Image width 240 mm, 1.00 mm slice spacing. Brain. Slice 136/155.
FLAIR magnetic resonance.
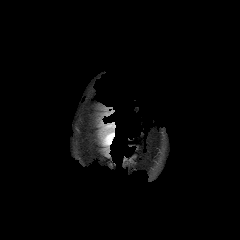
T1-weighted MRI.
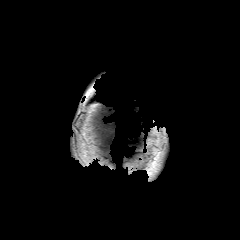
Post-contrast T1-weighted MRI.
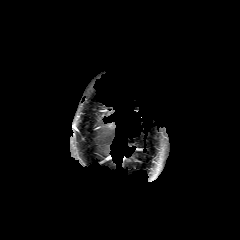
T2-weighted MRI.
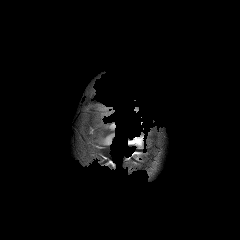
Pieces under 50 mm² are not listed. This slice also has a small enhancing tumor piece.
{
  "peritumoral_edema": [
    "(x1=103, y1=132, x2=114, y2=145)"
  ]
}